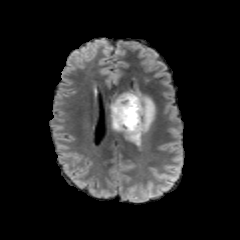
FLAIR MR image.
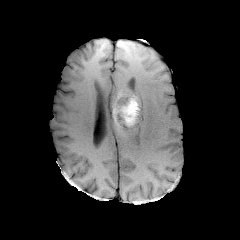
Same slice, T1-weighted magnetic resonance.
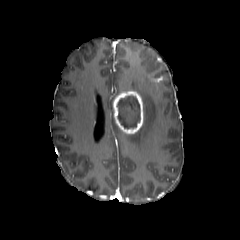
Post-contrast T1-weighted MRI.
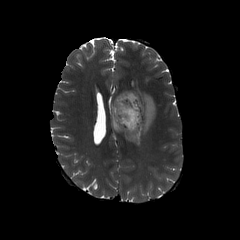
T2-weighted MRI of the same slice.
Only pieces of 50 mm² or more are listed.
necrotic_tumor_core:
  - (left=117, top=95, right=140, bottom=128)
enhancing_tumor:
  - (left=113, top=91, right=143, bottom=134)
peritumoral_edema:
  - (left=111, top=90, right=155, bottom=144)